Head. Image width 240 mm, 1.00 mm slice spacing. 240x240.
FLAIR MR image.
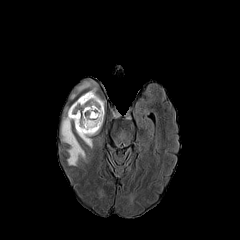
T1-weighted MR.
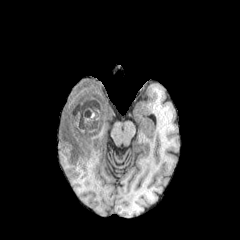
Post-contrast T1-weighted MR image.
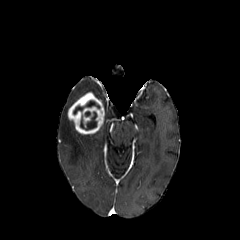
T2-weighted MRI.
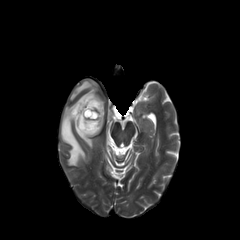
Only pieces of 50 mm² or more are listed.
The 3 largest necrotic tumor core regions are bounded by 73, 103, 84, 114; 85, 101, 99, 108; 80, 111, 96, 130. The enhancing tumor is located at 67, 92, 104, 134. The 3 largest peritumoral edema regions are bounded by 71, 80, 100, 99; 76, 131, 97, 148; 61, 108, 86, 165.